Head. Axial view. Slice 34/155.
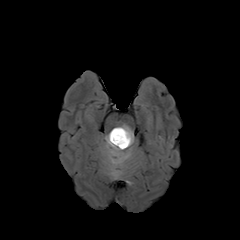
FLAIR MRI.
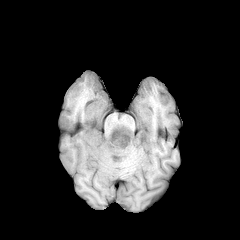
T1-weighted magnetic resonance.
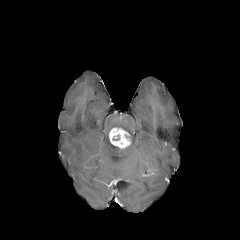
Post-contrast T1-weighted magnetic resonance of the same slice.
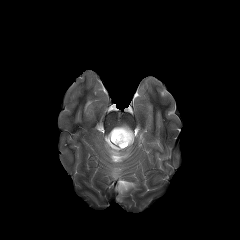
T2-weighted MR image of the same slice.
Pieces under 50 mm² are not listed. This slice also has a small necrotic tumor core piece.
The peritumoral edema is located at box(102, 124, 134, 178). The enhancing tumor is at box(109, 128, 130, 148).